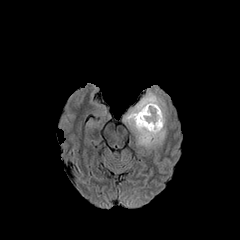
FLAIR MR.
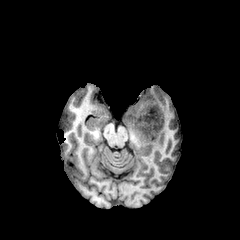
Same slice, T1-weighted magnetic resonance.
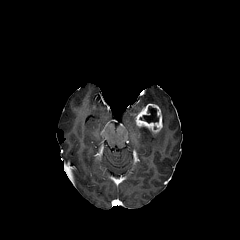
Post-contrast T1-weighted MR of the same slice.
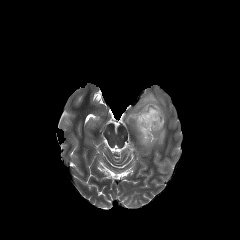
Same slice, T2-weighted MR image.
Brain
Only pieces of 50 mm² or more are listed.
necrotic tumor core: box(143, 106, 158, 123) | enhancing tumor: box(135, 103, 162, 133) | peritumoral edema: box(124, 91, 165, 147)